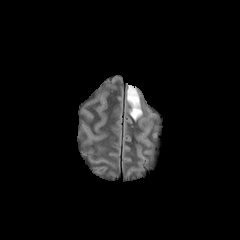
FLAIR MR.
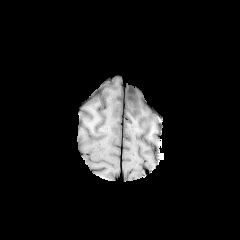
T1-weighted MR.
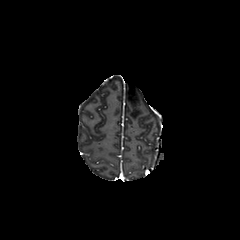
Post-contrast T1-weighted magnetic resonance.
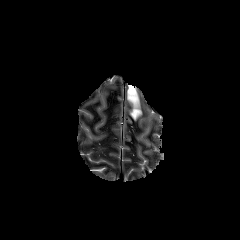
T2-weighted magnetic resonance.
Image size 240x240 | Brain | Axial slice
Findings:
* peritumoral edema: 127:85:142:119